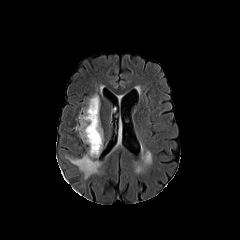
FLAIR MR image.
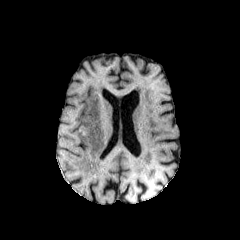
Same slice, T1-weighted MR image.
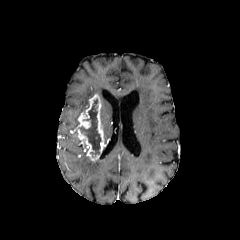
Post-contrast T1-weighted MRI of the same slice.
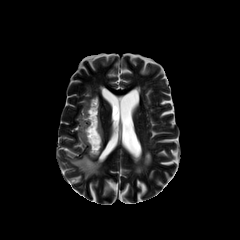
T2-weighted MR image of the same slice.
Head. Axial plane.
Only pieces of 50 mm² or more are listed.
necrotic tumor core — (80,99,101,154)
peritumoral edema — (67,155,101,179)
enhancing tumor — (76,94,104,160)